Axial slice
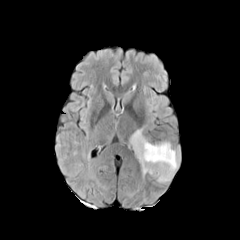
FLAIR MR.
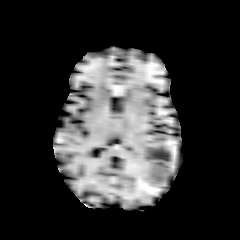
T1-weighted MR.
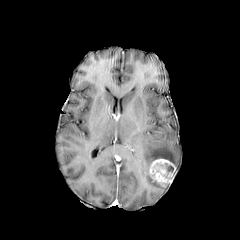
Same slice, post-contrast T1-weighted MR.
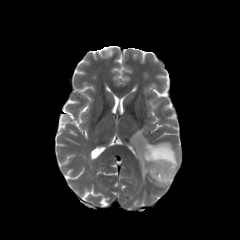
T2-weighted MRI of the same slice.
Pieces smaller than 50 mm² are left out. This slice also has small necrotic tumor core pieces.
The peritumoral edema is located at l=130, t=129, r=180, b=176. The enhancing tumor is bounded by l=149, t=158, r=176, b=184.